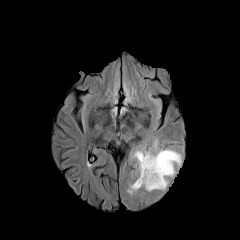
FLAIR MR.
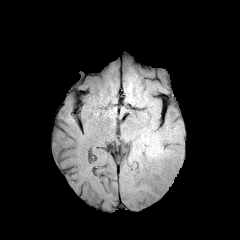
T1-weighted MR.
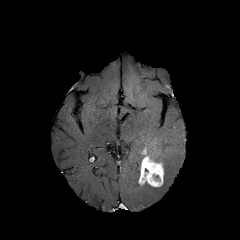
Post-contrast T1-weighted MR image.
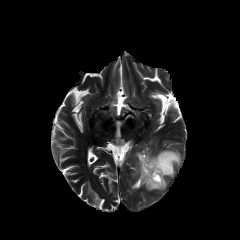
T2-weighted MR.
240x240
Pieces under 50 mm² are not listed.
enhancing tumor = <bbox>138, 150, 164, 186</bbox>
peritumoral edema = <bbox>128, 145, 181, 193</bbox>
necrotic tumor core = <bbox>152, 173, 160, 182</bbox>